FLAIR MR.
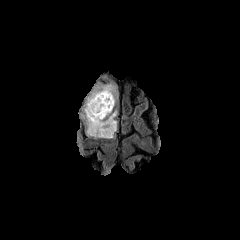
T1-weighted MRI.
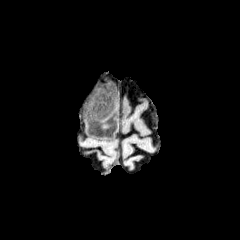
Post-contrast T1-weighted magnetic resonance.
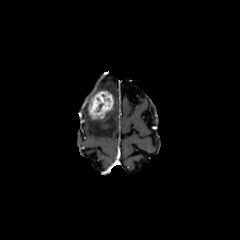
T2-weighted magnetic resonance.
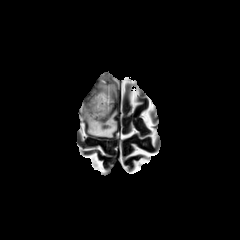
Brain | Axial slice
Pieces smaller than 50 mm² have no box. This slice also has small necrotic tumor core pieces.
The enhancing tumor appears at (88, 90, 113, 119). 2 peritumoral edema regions appear at (95, 83, 117, 108), (83, 103, 117, 138).